Slice 68 of 155
FLAIR MR image.
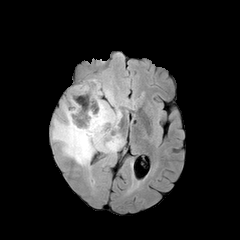
T1-weighted magnetic resonance.
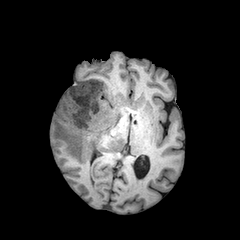
Post-contrast T1-weighted magnetic resonance.
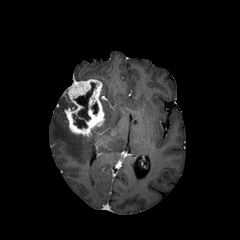
T2-weighted magnetic resonance.
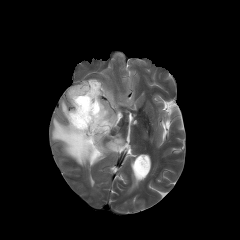
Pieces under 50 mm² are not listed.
The largest peritumoral edema region is bounded by 52:83:128:167. The 2 largest necrotic tumor core regions are located at 73:82:95:128, 91:102:98:113. The largest enhancing tumor region appears at 64:79:104:136.